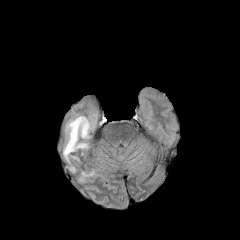
FLAIR MRI.
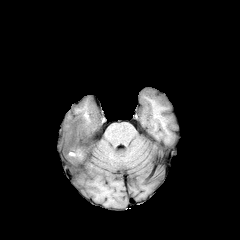
Same slice, T1-weighted MR image.
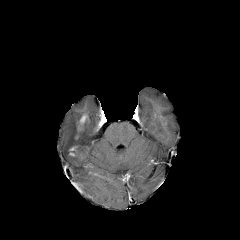
Post-contrast T1-weighted MRI of the same slice.
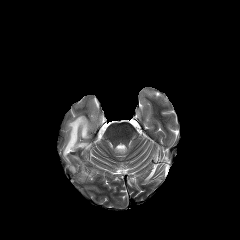
T2-weighted MRI of the same slice.
Head
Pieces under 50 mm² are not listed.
{
  "enhancing_tumor": [
    "[x1=77, y1=115, x2=85, y2=130]",
    "[x1=69, y1=146, x2=77, y2=156]"
  ],
  "peritumoral_edema": [
    "[x1=63, y1=115, x2=95, y2=163]",
    "[x1=79, y1=169, x2=95, y2=181]"
  ]
}